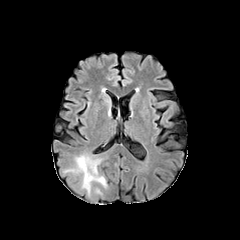
FLAIR MR image.
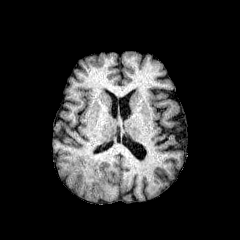
T1-weighted MR of the same slice.
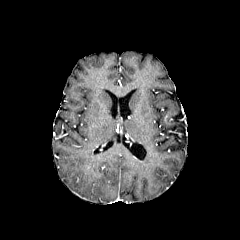
Same slice, post-contrast T1-weighted MR.
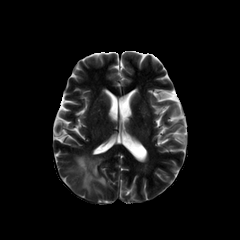
T2-weighted MR image.
Head.
peritumoral_edema:
  - [72, 155, 106, 189]